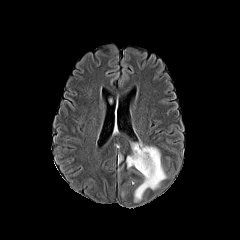
FLAIR MR image.
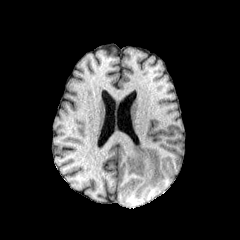
Same slice, T1-weighted MRI.
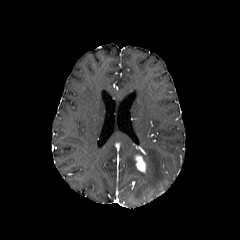
Same slice, post-contrast T1-weighted magnetic resonance.
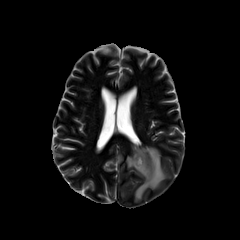
Same slice, T2-weighted MRI.
Axial plane.
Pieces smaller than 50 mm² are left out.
enhancing tumor = <box>134,154,146,172</box>
peritumoral edema = <box>126,143,166,201</box>